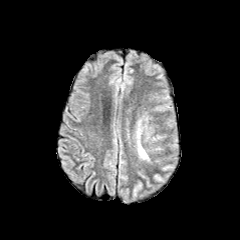
FLAIR MRI.
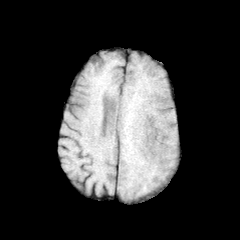
Same slice, T1-weighted MRI.
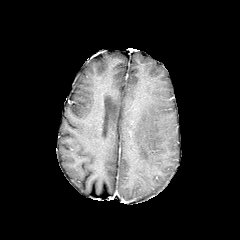
Same slice, post-contrast T1-weighted MR image.
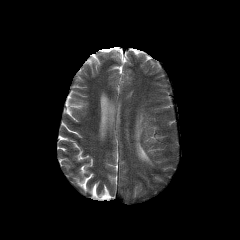
Same slice, T2-weighted magnetic resonance.
240x240 px
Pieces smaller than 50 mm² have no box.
- peritumoral edema: <box>136,119,149,160</box>